240x240 px
FLAIR MRI.
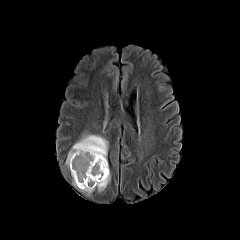
T1-weighted MRI.
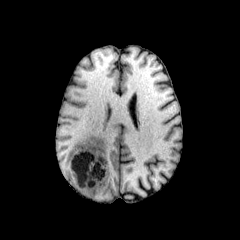
Post-contrast T1-weighted MR image.
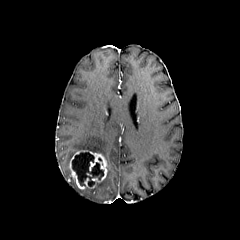
T2-weighted MR image.
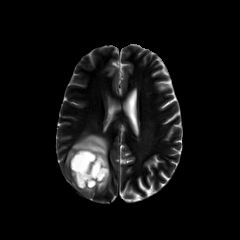
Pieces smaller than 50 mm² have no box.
• necrotic tumor core: [72, 152, 103, 186]
• peritumoral edema: [96, 164, 110, 191], [81, 188, 94, 194], [65, 134, 108, 169]
• enhancing tumor: [69, 150, 107, 189]